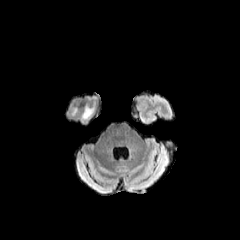
FLAIR magnetic resonance.
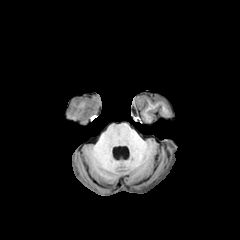
Same slice, T1-weighted MR.
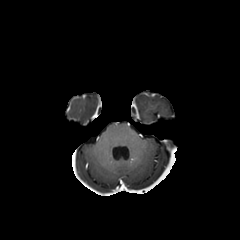
Post-contrast T1-weighted MR of the same slice.
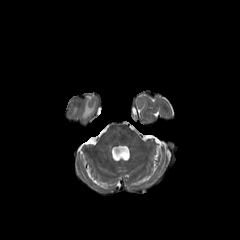
Same slice, T2-weighted MR.
Head
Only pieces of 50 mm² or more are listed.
The largest peritumoral edema region is located at <bbox>81, 102, 95, 120</bbox>.